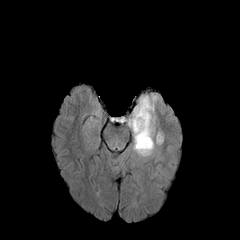
FLAIR magnetic resonance.
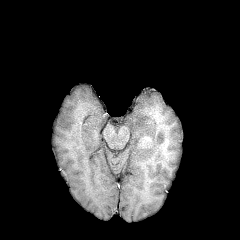
Same slice, T1-weighted magnetic resonance.
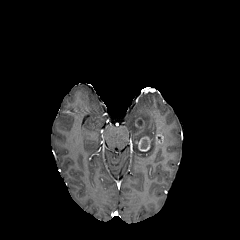
Post-contrast T1-weighted MR image.
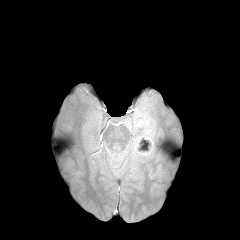
T2-weighted MRI of the same slice.
Head; Axial slice
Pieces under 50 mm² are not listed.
3 enhancing tumor regions appear at [x1=135, y1=117, x2=144, y2=129], [x1=135, y1=137, x2=150, y2=151], [x1=156, y1=133, x2=163, y2=143]. The largest necrotic tumor core region is located at [x1=141, y1=139, x2=147, y2=148]. The peritumoral edema is located at [x1=127, y1=94, x2=163, y2=157].